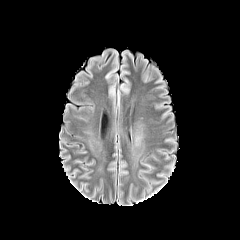
FLAIR MR image.
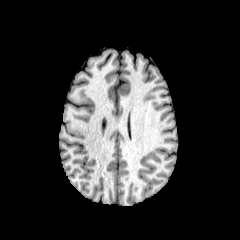
T1-weighted magnetic resonance.
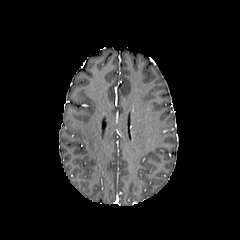
Post-contrast T1-weighted magnetic resonance.
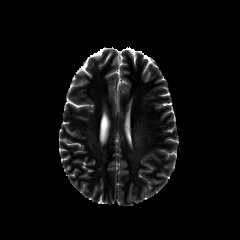
T2-weighted MR.
Axial view | Head | 240x240 px
The peritumoral edema is at (x1=135, y1=127, x2=142, y2=143).